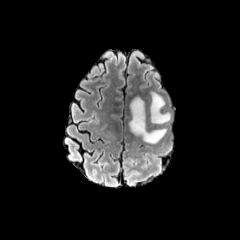
FLAIR MR.
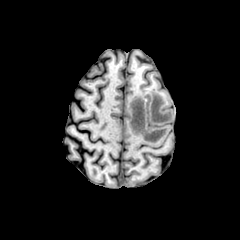
T1-weighted magnetic resonance.
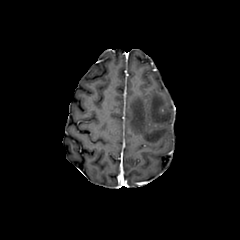
Post-contrast T1-weighted magnetic resonance.
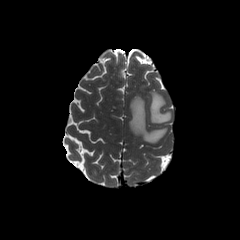
Same slice, T2-weighted MR image.
<segmentation>
  <peritumoral_edema>box(129, 96, 166, 143); box(149, 92, 171, 124)</peritumoral_edema>
</segmentation>